FLAIR magnetic resonance.
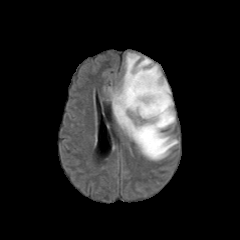
T1-weighted MR.
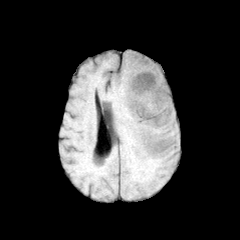
Post-contrast T1-weighted MR.
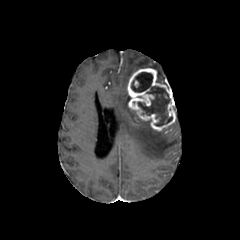
T2-weighted MRI.
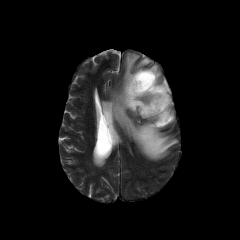
Axial plane. Brain.
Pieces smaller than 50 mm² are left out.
The peritumoral edema is at 109, 53, 178, 160. The necrotic tumor core lies within 131, 72, 172, 126. The largest enhancing tumor region is at 127, 68, 175, 131.